Head
FLAIR MRI.
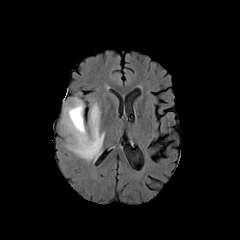
T1-weighted MR image.
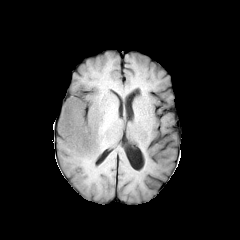
Post-contrast T1-weighted MR image.
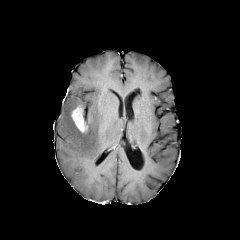
T2-weighted MRI.
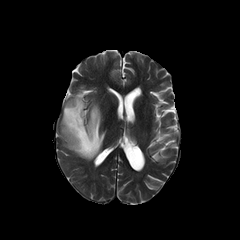
enhancing tumor: 71 105 87 132 | peritumoral edema: 60 92 104 161